FLAIR MRI.
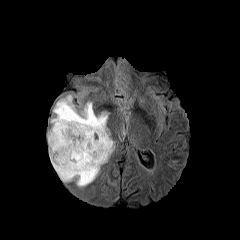
T1-weighted MR image.
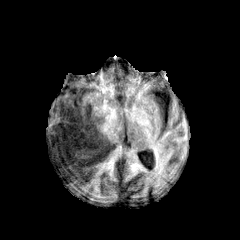
Post-contrast T1-weighted MR.
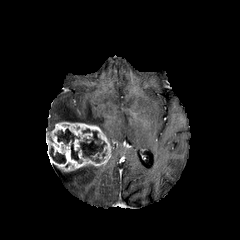
T2-weighted magnetic resonance.
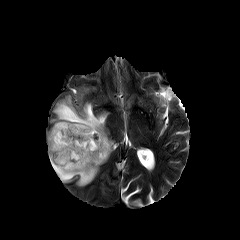
240x240 px; Head
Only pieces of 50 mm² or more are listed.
<segmentation>
  <peritumoral_edema>52 164 100 187, 49 95 113 146</peritumoral_edema>
  <enhancing_tumor>46 121 113 171</enhancing_tumor>
  <necrotic_tumor_core>49 147 65 163, 80 131 106 158, 55 129 75 143, 71 144 79 160</necrotic_tumor_core>
</segmentation>